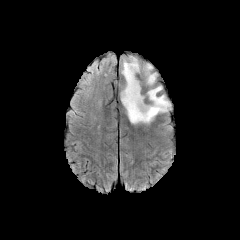
FLAIR magnetic resonance.
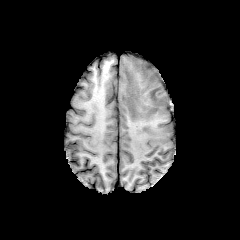
T1-weighted MR image.
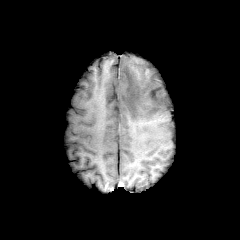
Post-contrast T1-weighted MRI.
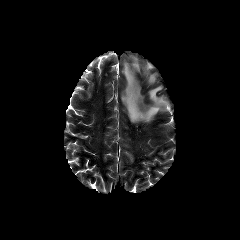
T2-weighted MR image.
240x240 px | Brain
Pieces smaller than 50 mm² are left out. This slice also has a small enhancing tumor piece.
The peritumoral edema is located at bbox(121, 56, 170, 123).